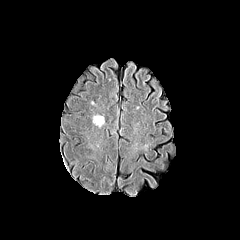
FLAIR magnetic resonance.
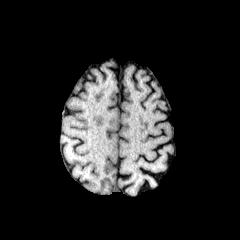
T1-weighted MR image.
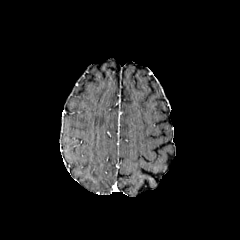
Post-contrast T1-weighted magnetic resonance.
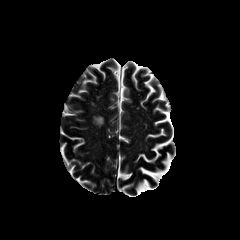
T2-weighted magnetic resonance of the same slice.
Axial view; Head; Image size 240x240
{"peritumoral_edema": ["(x1=95, y1=117, x2=103, y2=124)"]}